Slice 64 of 155. Axial plane. Brain. 240x240 px.
FLAIR magnetic resonance.
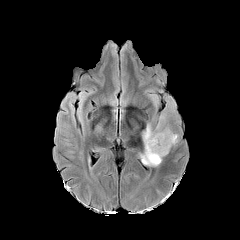
T1-weighted MRI.
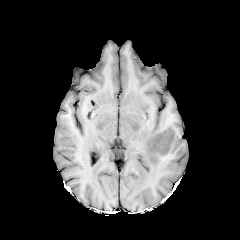
Post-contrast T1-weighted MR image.
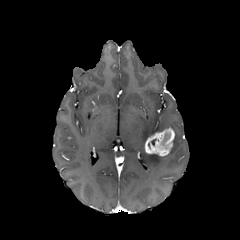
T2-weighted MRI.
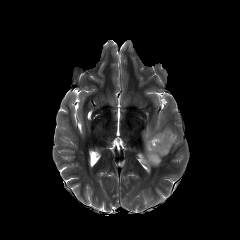
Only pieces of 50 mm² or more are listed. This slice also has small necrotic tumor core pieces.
The enhancing tumor appears at [145, 127, 174, 156]. 2 peritumoral edema regions are bounded by [173, 133, 178, 145], [141, 116, 169, 166].